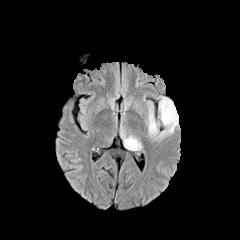
FLAIR MR image.
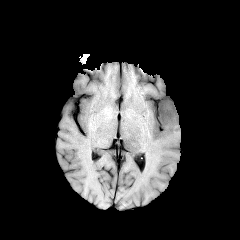
T1-weighted magnetic resonance of the same slice.
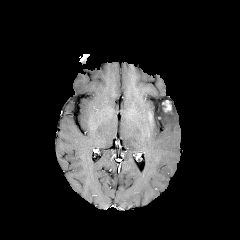
Post-contrast T1-weighted MR image of the same slice.
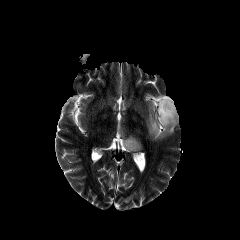
T2-weighted MR of the same slice.
Axial view.
2 peritumoral edema regions appear at [x1=146, y1=95, x2=179, y2=139], [x1=120, y1=128, x2=142, y2=151]. The enhancing tumor is at [x1=162, y1=100, x2=171, y2=112].